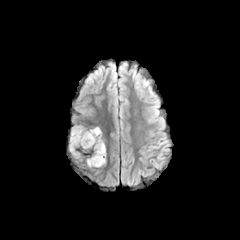
FLAIR MRI.
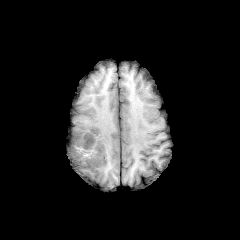
T1-weighted MRI.
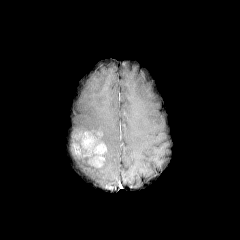
Post-contrast T1-weighted MRI.
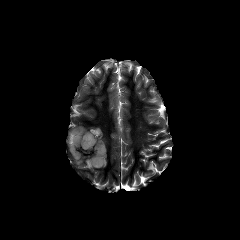
T2-weighted MRI of the same slice.
Axial slice
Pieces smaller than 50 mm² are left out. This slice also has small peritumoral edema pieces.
enhancing tumor — <bbox>71, 130, 106, 167</bbox>